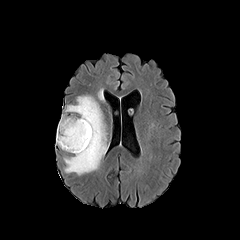
FLAIR MR image.
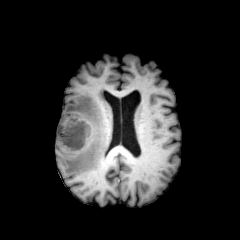
T1-weighted MR.
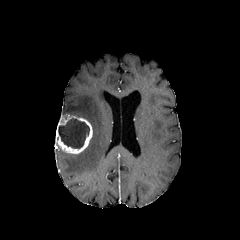
Post-contrast T1-weighted MR image of the same slice.
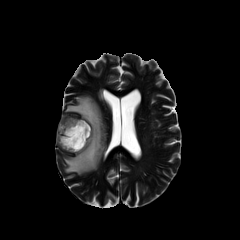
T2-weighted MR.
Axial slice | Head
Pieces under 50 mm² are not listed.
The necrotic tumor core lies within bbox(58, 118, 89, 148). The largest peritumoral edema region lies within bbox(63, 95, 107, 175). The enhancing tumor is located at bbox(55, 114, 92, 154).